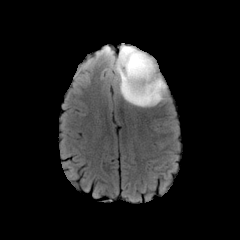
FLAIR MRI.
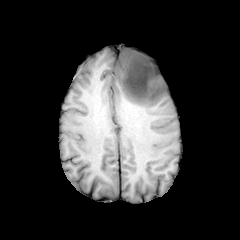
T1-weighted MR.
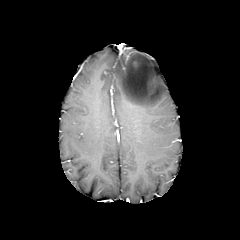
Same slice, post-contrast T1-weighted MR image.
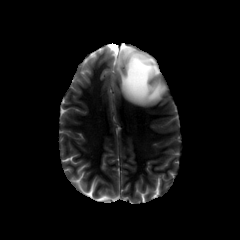
Same slice, T2-weighted magnetic resonance.
Brain
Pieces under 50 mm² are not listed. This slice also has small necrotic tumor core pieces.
- peritumoral edema: <box>114,47,166,106</box>
- enhancing tumor: <box>119,44,134,60</box>